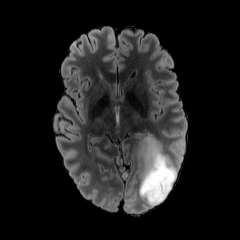
FLAIR magnetic resonance.
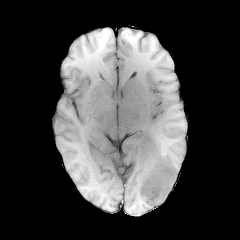
T1-weighted MR image.
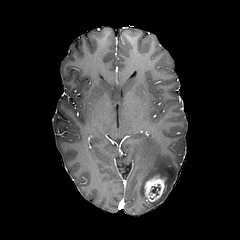
Post-contrast T1-weighted magnetic resonance.
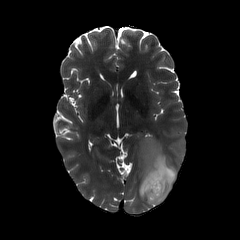
T2-weighted MR.
Head
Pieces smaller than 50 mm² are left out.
The peritumoral edema is bounded by rect(138, 137, 176, 206). The necrotic tumor core appears at rect(151, 184, 160, 195). The largest enhancing tumor region is located at rect(144, 176, 165, 201).